Head. Axial view. Slice 77/155.
FLAIR MR image.
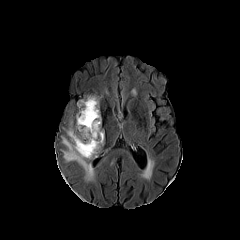
T1-weighted MRI.
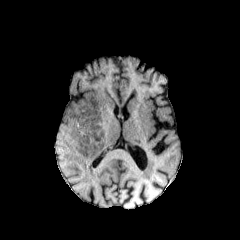
Post-contrast T1-weighted MR.
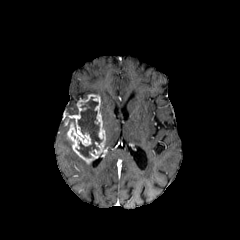
T2-weighted MRI.
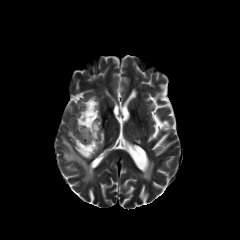
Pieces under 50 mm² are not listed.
The enhancing tumor is bounded by 67, 94, 105, 163. The largest necrotic tumor core region is located at 76, 97, 101, 157. The largest peritumoral edema region is bounded by 61, 136, 95, 182.